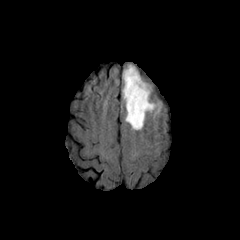
FLAIR MRI.
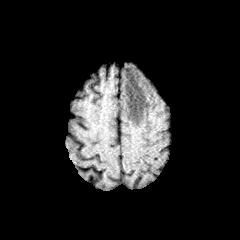
T1-weighted MRI.
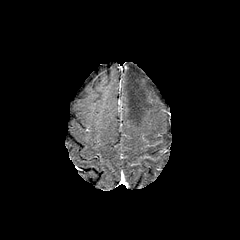
Post-contrast T1-weighted MRI.
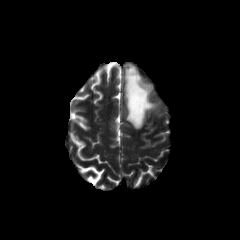
T2-weighted magnetic resonance.
240x240 px
The peritumoral edema is at [123,65,160,129].